Head
FLAIR MR image.
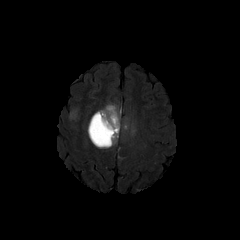
T1-weighted magnetic resonance.
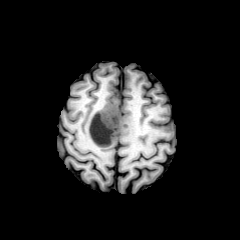
Post-contrast T1-weighted magnetic resonance.
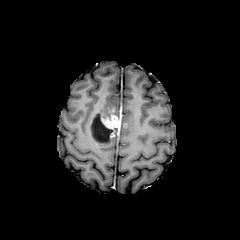
T2-weighted MR.
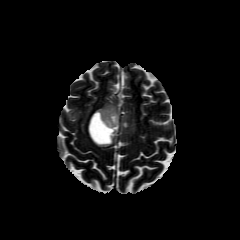
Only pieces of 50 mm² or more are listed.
enhancing_tumor:
  - {"x1": 88, "y1": 109, "x2": 120, "y2": 146}
necrotic_tumor_core:
  - {"x1": 90, "y1": 112, "x2": 113, "y2": 144}
peritumoral_edema:
  - {"x1": 96, "y1": 104, "x2": 120, "y2": 117}
  - {"x1": 87, "y1": 121, "x2": 118, "y2": 148}
  - {"x1": 70, "y1": 108, "x2": 78, "y2": 118}